FLAIR MRI.
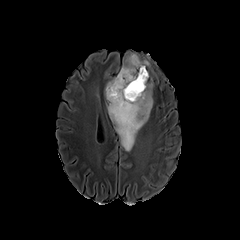
T1-weighted MR.
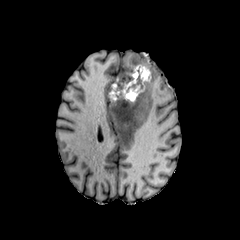
Post-contrast T1-weighted MR.
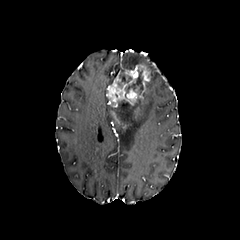
T2-weighted MRI.
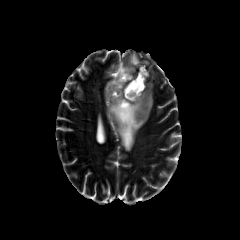
Brain | 240x240 | Axial view
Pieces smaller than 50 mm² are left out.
peritumoral edema: 104:76:115:102, 107:78:154:151, 123:53:149:69 | enhancing tumor: 106:64:148:107, 110:110:125:128 | necrotic tumor core: 125:69:143:94, 119:74:131:82, 112:100:136:122